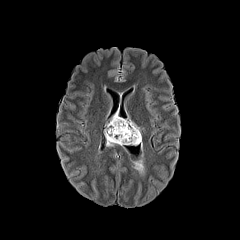
FLAIR MRI.
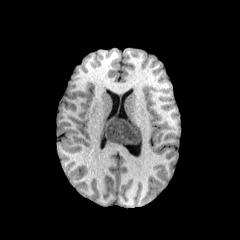
T1-weighted MRI.
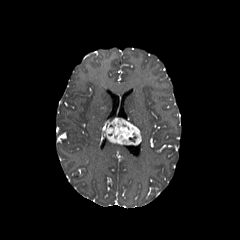
Same slice, post-contrast T1-weighted MR image.
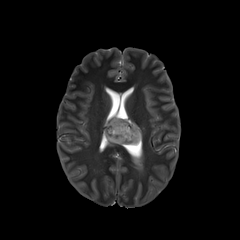
Same slice, T2-weighted MR.
Axial plane
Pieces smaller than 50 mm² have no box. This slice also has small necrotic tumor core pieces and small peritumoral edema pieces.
The enhancing tumor is bounded by region(105, 117, 141, 144).